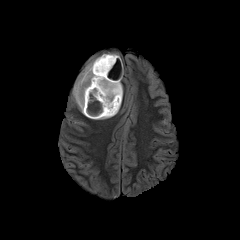
FLAIR MR image.
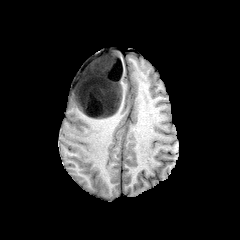
Same slice, T1-weighted MR.
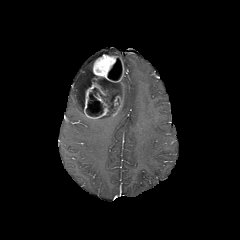
Same slice, post-contrast T1-weighted MRI.
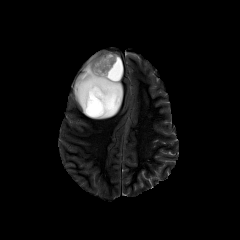
Same slice, T2-weighted MR.
Axial slice.
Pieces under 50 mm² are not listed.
necrotic_tumor_core:
  - (108,58,122,80)
  - (86,78,120,116)
peritumoral_edema:
  - (119,82,123,102)
  - (72,55,101,114)
enhancing_tumor:
  - (84,81,109,119)
  - (93,54,123,82)
  - (112,96,121,115)